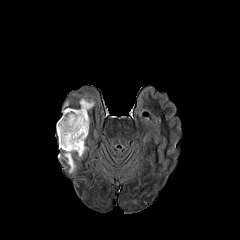
FLAIR MRI.
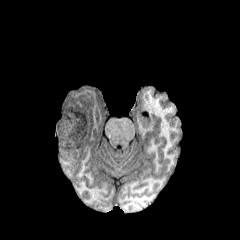
T1-weighted MR.
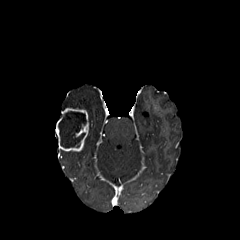
Same slice, post-contrast T1-weighted MRI.
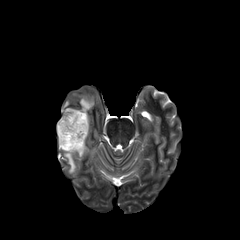
T2-weighted MR image.
Brain, Axial slice, Image size 240x240
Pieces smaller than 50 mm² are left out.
enhancing tumor: bounding box x1=56 y1=108 x2=88 y2=151
necrotic tumor core: bounding box x1=58 y1=111 x2=86 y2=148
peritumoral edema: bounding box x1=78 y1=145 x2=87 y2=157, x1=64 y1=151 x2=75 y2=173, x1=79 y1=98 x2=94 y2=110